Axial slice | 240x240 | Brain | Image width 240 mm | Slice 48/155
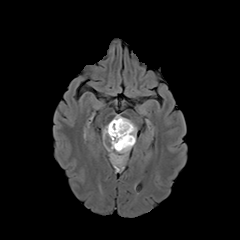
FLAIR MRI.
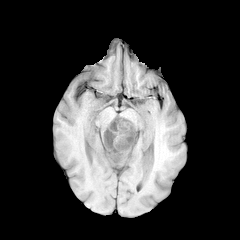
Same slice, T1-weighted MR image.
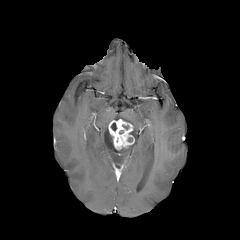
Post-contrast T1-weighted MR.
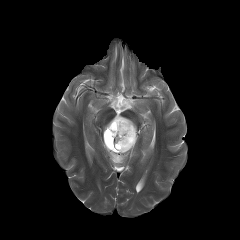
Same slice, T2-weighted magnetic resonance.
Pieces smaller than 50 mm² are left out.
enhancing tumor = <box>107,119,134,150</box>
necrotic tumor core = <box>105,131,114,147</box>
peritumoral edema = <box>103,115,136,168</box>